FLAIR magnetic resonance.
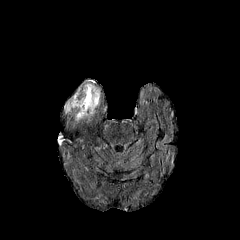
T1-weighted MR.
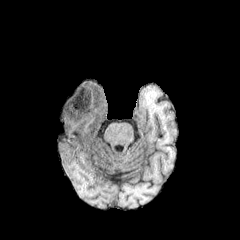
Post-contrast T1-weighted MRI.
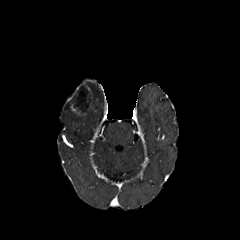
T2-weighted MRI.
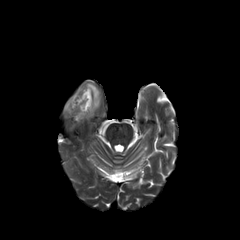
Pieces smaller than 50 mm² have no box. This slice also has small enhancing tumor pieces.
The necrotic tumor core is at rect(75, 87, 91, 112). The peritumoral edema lies within rect(64, 82, 100, 122).